Head | Axial plane | Slice index 71 | 240x240 px
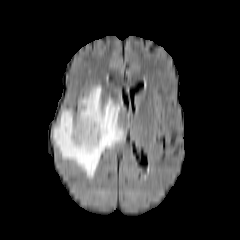
FLAIR magnetic resonance.
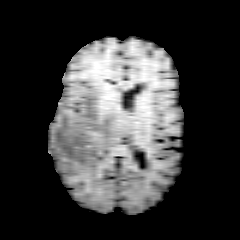
T1-weighted MR of the same slice.
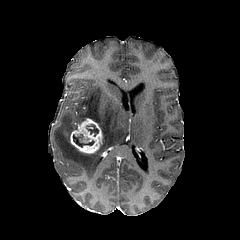
Post-contrast T1-weighted MR of the same slice.
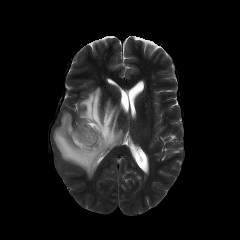
T2-weighted MRI.
necrotic_tumor_core:
  - x1=86, y1=124, x2=98, y2=136
  - x1=73, y1=134, x2=94, y2=146
peritumoral_edema:
  - x1=53, y1=86, x2=124, y2=178
enhancing_tumor:
  - x1=70, y1=118, x2=102, y2=154